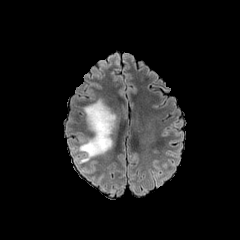
FLAIR magnetic resonance.
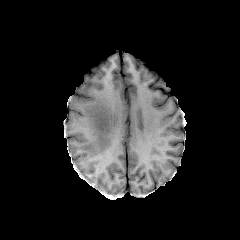
T1-weighted magnetic resonance.
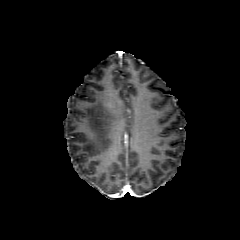
Post-contrast T1-weighted MR image.
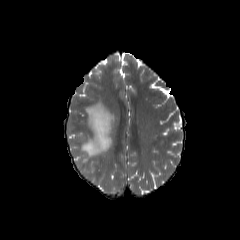
Same slice, T2-weighted MRI.
Head
<segmentation>
  <peritumoral_edema>(left=76, top=99, right=115, bottom=163)</peritumoral_edema>
</segmentation>